FLAIR MRI.
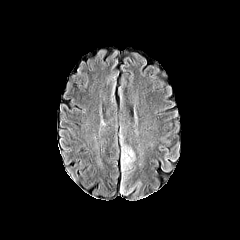
T1-weighted MR.
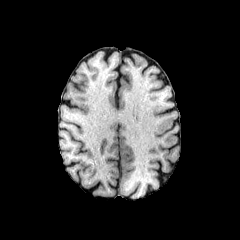
Post-contrast T1-weighted MR image.
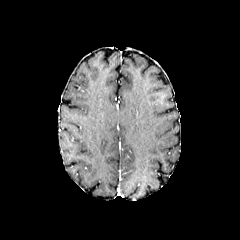
T2-weighted MRI.
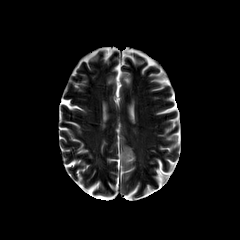
The peritumoral edema appears at {"x1": 119, "y1": 134, "x2": 135, "y2": 170}.